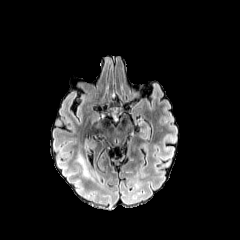
FLAIR MR.
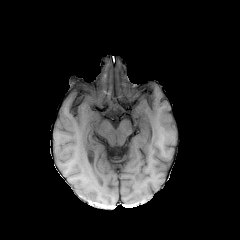
T1-weighted MRI of the same slice.
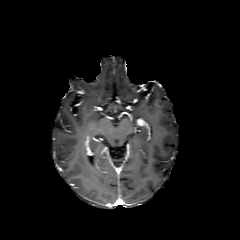
Post-contrast T1-weighted MR.
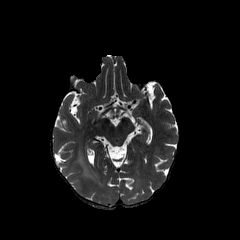
T2-weighted MR.
Axial view | Brain
peritumoral edema: 77,154,90,176